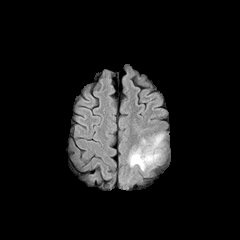
FLAIR MR.
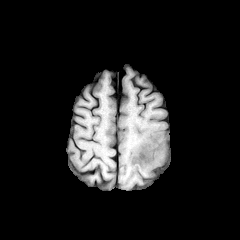
T1-weighted MRI.
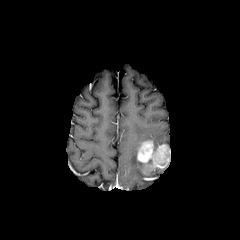
Post-contrast T1-weighted magnetic resonance.
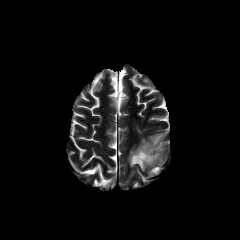
T2-weighted MR image of the same slice.
Image size 240x240; Brain; Axial slice
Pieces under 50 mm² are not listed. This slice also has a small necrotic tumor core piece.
Segmented structures:
- enhancing tumor: x1=137, y1=141, x2=167, y2=169
- peritumoral edema: x1=140, y1=133, x2=164, y2=149; x1=128, y1=146, x2=154, y2=171